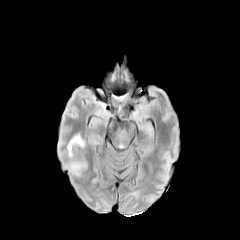
FLAIR MRI.
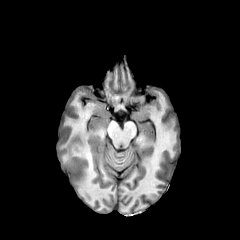
Same slice, T1-weighted magnetic resonance.
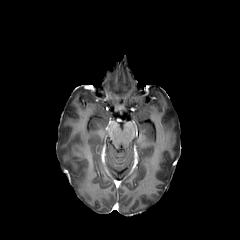
Post-contrast T1-weighted MR.
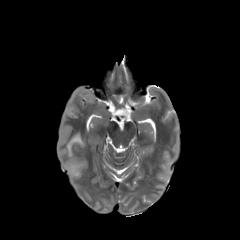
T2-weighted MR image.
peritumoral_edema:
  - x1=67 y1=134 x2=84 y2=156
  - x1=66 y1=162 x2=83 y2=175